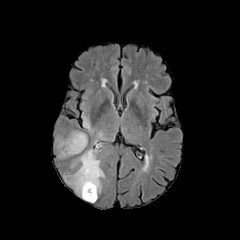
FLAIR MR image.
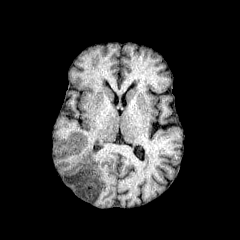
Same slice, T1-weighted magnetic resonance.
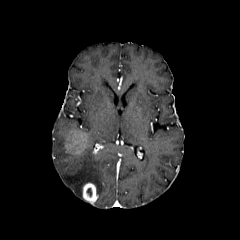
Post-contrast T1-weighted MRI of the same slice.
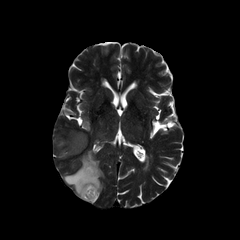
T2-weighted MRI of the same slice.
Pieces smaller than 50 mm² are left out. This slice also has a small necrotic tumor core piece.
Segmented structures:
- peritumoral edema: 63,149,104,196; 82,116,90,130; 57,138,72,157
- enhancing tumor: 82,183,97,203; 65,131,87,154